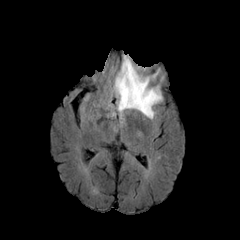
FLAIR MR image.
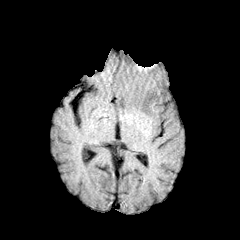
Same slice, T1-weighted MR.
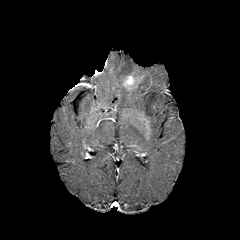
Post-contrast T1-weighted MRI.
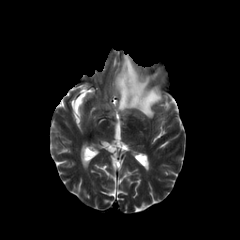
Same slice, T2-weighted MRI.
Axial plane, Head
enhancing_tumor:
  - rect(123, 72, 140, 89)
peritumoral_edema:
  - rect(114, 55, 162, 118)